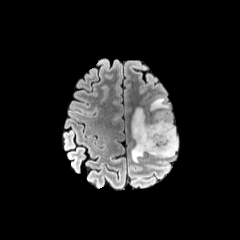
FLAIR MR image.
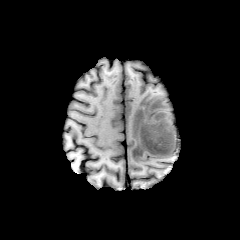
T1-weighted MR image of the same slice.
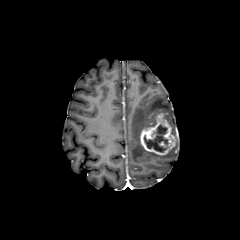
Post-contrast T1-weighted MR.
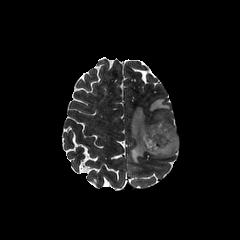
Same slice, T2-weighted MRI.
Head | 240x240
The necrotic tumor core is located at <bbox>143, 124, 168, 152</bbox>. The peritumoral edema appears at <bbox>131, 97, 178, 162</bbox>. The enhancing tumor appears at <bbox>140, 114, 177, 155</bbox>.